240x240 | Image width 240 mm | Brain | Slice index 104
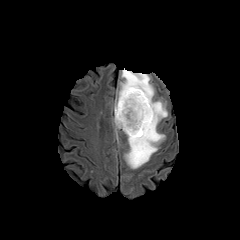
FLAIR MRI.
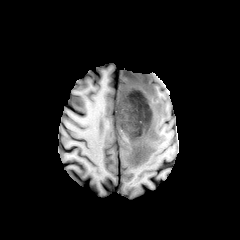
T1-weighted MRI.
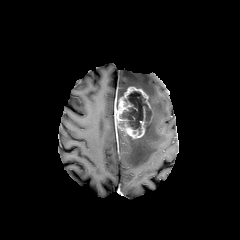
Post-contrast T1-weighted MR of the same slice.
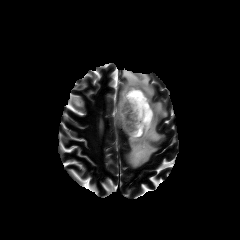
T2-weighted magnetic resonance.
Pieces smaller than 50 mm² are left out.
The enhancing tumor is at [x1=116, y1=87, x2=152, y2=138]. The largest necrotic tumor core region appears at [x1=120, y1=91, x2=151, y2=134]. The peritumoral edema is located at [x1=114, y1=68, x2=167, y2=168].